FLAIR magnetic resonance.
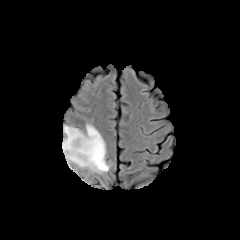
T1-weighted MRI.
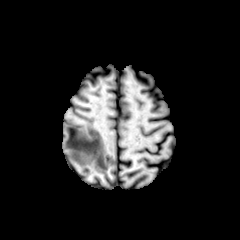
Post-contrast T1-weighted MR image.
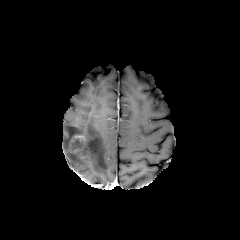
T2-weighted MR image.
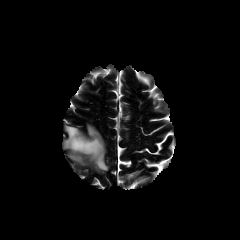
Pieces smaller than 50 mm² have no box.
Annotated regions:
• enhancing tumor: x1=70 y1=135 x2=86 y2=145
• peritumoral edema: x1=62 y1=124 x2=109 y2=173